Axial slice | Slice 49 of 155 | Head | Image covers 240 mm x 240 mm
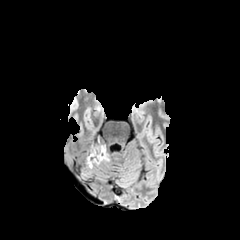
FLAIR MR.
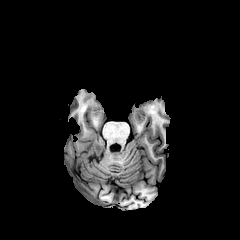
T1-weighted magnetic resonance.
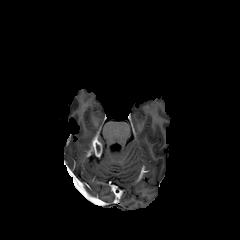
Post-contrast T1-weighted MR.
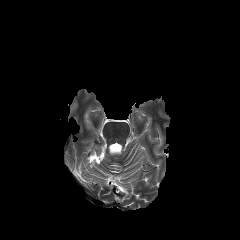
Same slice, T2-weighted MR.
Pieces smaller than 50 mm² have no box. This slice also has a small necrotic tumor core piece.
The enhancing tumor is bounded by 92 141 101 156. The peritumoral edema lies within 85 135 109 168.